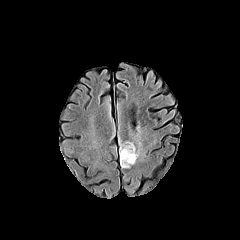
FLAIR MR.
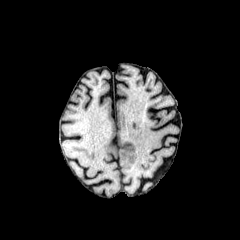
T1-weighted MR image of the same slice.
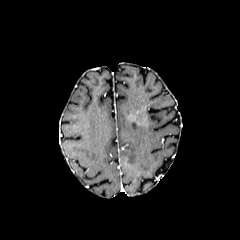
Post-contrast T1-weighted MRI.
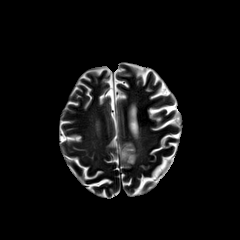
T2-weighted MRI.
Image size 240x240 | Head
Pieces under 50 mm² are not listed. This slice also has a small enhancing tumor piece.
Annotated regions:
- peritumoral edema: left=119, top=142, right=138, bottom=167